240x240.
FLAIR MR image.
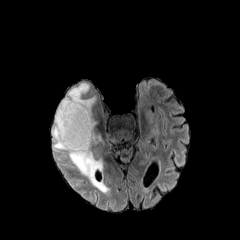
T1-weighted MRI.
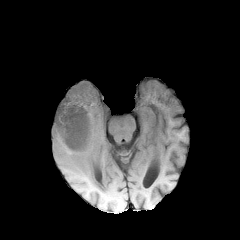
Post-contrast T1-weighted MR.
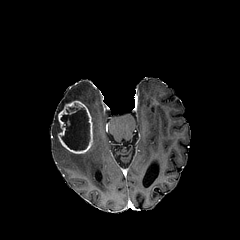
T2-weighted MR image.
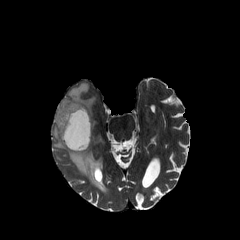
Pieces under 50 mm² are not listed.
The necrotic tumor core appears at rect(61, 107, 89, 150). The largest peritumoral edema region is at rect(52, 82, 108, 192). The largest enhancing tumor region is located at rect(58, 100, 93, 153).